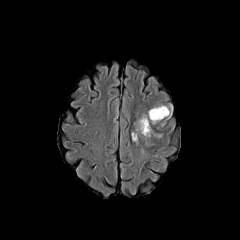
FLAIR MR.
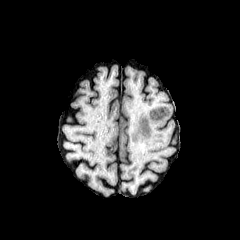
Same slice, T1-weighted MR image.
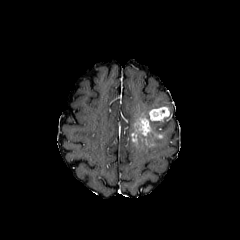
Post-contrast T1-weighted magnetic resonance.
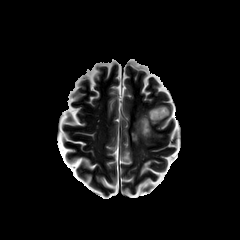
T2-weighted magnetic resonance of the same slice.
Axial view
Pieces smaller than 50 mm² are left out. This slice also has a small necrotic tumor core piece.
{
  "peritumoral_edema": [
    "161, 104, 172, 127",
    "140, 148, 147, 160",
    "140, 111, 159, 124"
  ],
  "enhancing_tumor": [
    "131, 116, 152, 142",
    "149, 106, 169, 120"
  ]
}